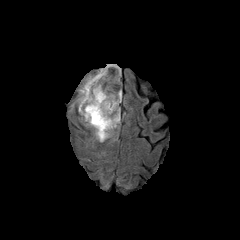
FLAIR MRI.
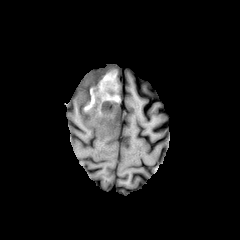
T1-weighted magnetic resonance.
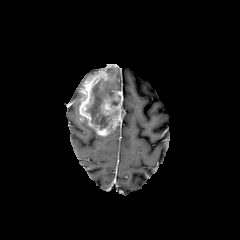
Post-contrast T1-weighted MRI.
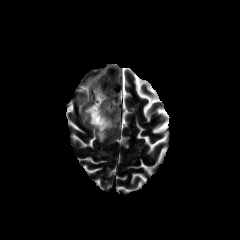
Same slice, T2-weighted MRI.
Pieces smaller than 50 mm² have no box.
{"enhancing_tumor": ["x1=78 y1=64 x2=124 y2=136"], "necrotic_tumor_core": ["x1=87 y1=68 x2=118 y2=129"], "peritumoral_edema": ["x1=95 y1=131 x2=112 y2=142"]}